FLAIR MRI.
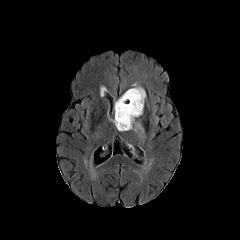
T1-weighted MRI.
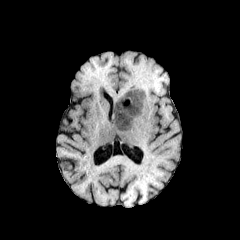
Post-contrast T1-weighted MRI.
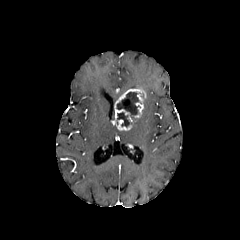
T2-weighted MR image.
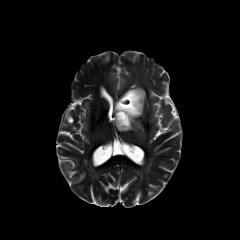
Head, 240x240 px
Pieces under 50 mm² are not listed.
peritumoral edema: region(131, 83, 144, 90); region(131, 119, 143, 137)
enhancing tumor: region(113, 88, 146, 130)
necrotic tumor core: region(117, 112, 131, 127); region(117, 92, 139, 118)